240x240; Axial view; Brain; Slice 62 of 155
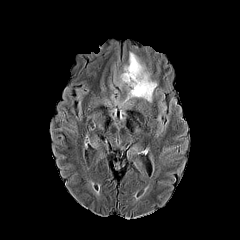
FLAIR magnetic resonance.
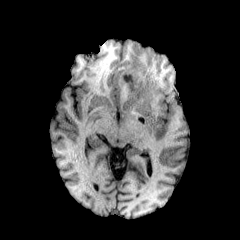
Same slice, T1-weighted MRI.
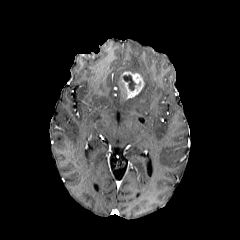
Post-contrast T1-weighted magnetic resonance.
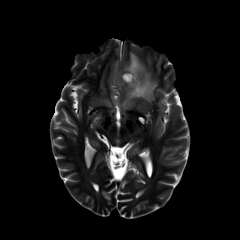
Same slice, T2-weighted MR image.
The enhancing tumor is bounded by <bbox>121, 71, 144, 98</bbox>. The peritumoral edema appears at <bbox>124, 52, 157, 101</bbox>. The necrotic tumor core appears at <bbox>123, 75, 135, 90</bbox>.